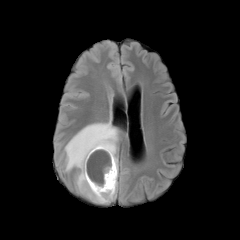
FLAIR MR.
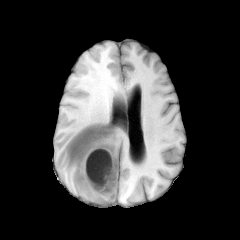
T1-weighted MR.
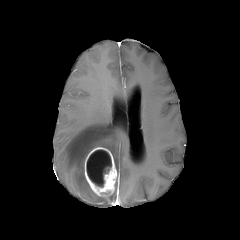
Post-contrast T1-weighted MR image of the same slice.
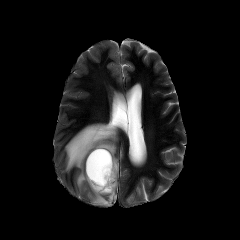
T2-weighted MR.
enhancing_tumor:
  - left=85, top=147, right=117, bottom=196
necrotic_tumor_core:
  - left=87, top=150, right=111, bottom=187
peritumoral_edema:
  - left=65, top=120, right=118, bottom=203